240x240 px, Slice 33/155
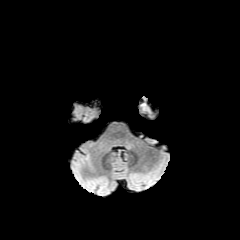
FLAIR MR.
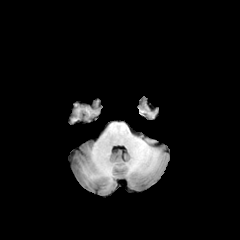
T1-weighted magnetic resonance of the same slice.
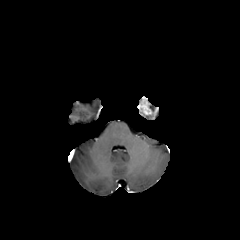
Same slice, post-contrast T1-weighted MRI.
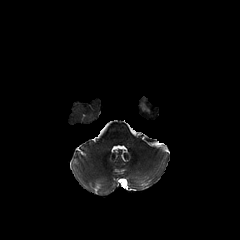
Same slice, T2-weighted magnetic resonance.
Annotated regions:
- enhancing tumor: 138,96,152,114